Image size 240x240, Brain, Slice index 80
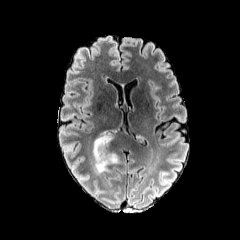
FLAIR MR image.
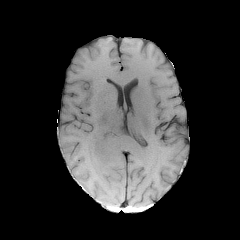
T1-weighted MR.
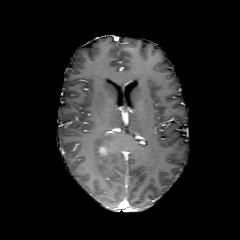
Post-contrast T1-weighted MR of the same slice.
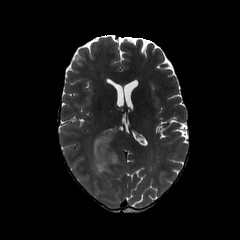
T2-weighted MRI.
The enhancing tumor is bounded by <bbox>98, 144, 107, 157</bbox>. The peritumoral edema is bounded by <bbox>93, 133, 118, 173</bbox>.